FLAIR MRI.
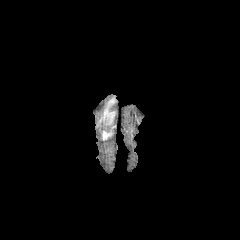
T1-weighted MR image.
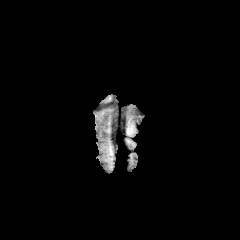
Post-contrast T1-weighted MR.
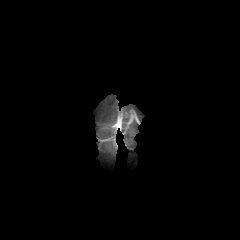
T2-weighted magnetic resonance.
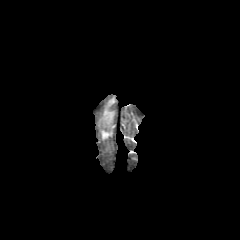
Axial view. Image size 240x240.
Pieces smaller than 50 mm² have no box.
peritumoral_edema:
  - bbox(103, 108, 113, 122)